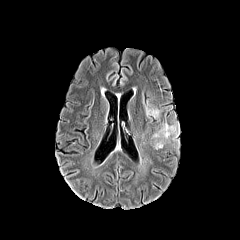
FLAIR MR.
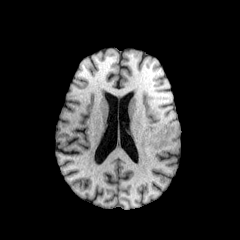
T1-weighted MR image.
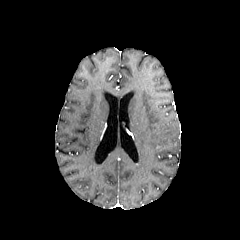
Post-contrast T1-weighted MR image of the same slice.
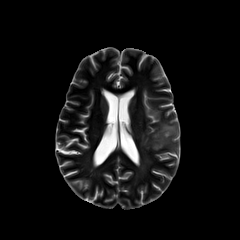
T2-weighted magnetic resonance.
240x240 px; Head
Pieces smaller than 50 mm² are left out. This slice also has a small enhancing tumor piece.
Segmented structures:
• peritumoral edema: [x1=152, y1=124, x2=178, y2=149]